240x240 px.
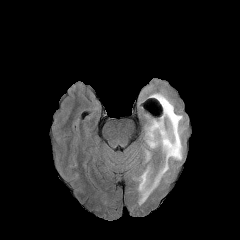
FLAIR MRI.
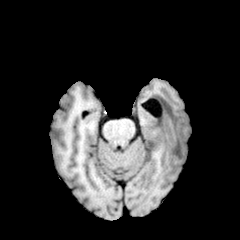
T1-weighted magnetic resonance of the same slice.
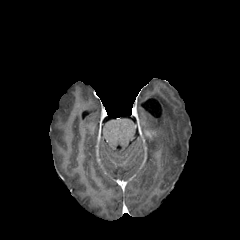
Same slice, post-contrast T1-weighted magnetic resonance.
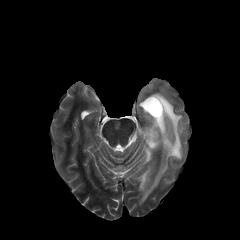
T2-weighted MR image.
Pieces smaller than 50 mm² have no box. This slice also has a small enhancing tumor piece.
peritumoral edema: <bbox>138, 93, 185, 204</bbox>